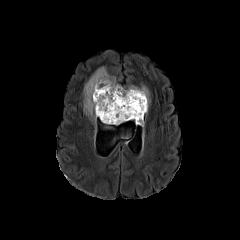
FLAIR MR.
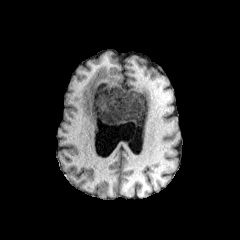
T1-weighted MR.
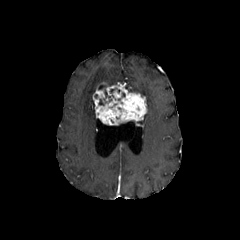
Post-contrast T1-weighted MRI.
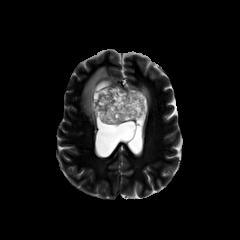
T2-weighted MRI of the same slice.
Head, Image size 240x240
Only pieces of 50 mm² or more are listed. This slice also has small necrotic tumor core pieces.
• peritumoral edema: region(83, 67, 116, 123); region(128, 86, 150, 108)
• enhancing tumor: region(92, 82, 147, 125)